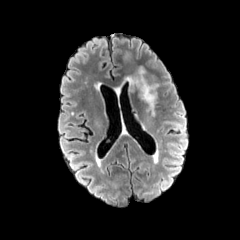
FLAIR MR image.
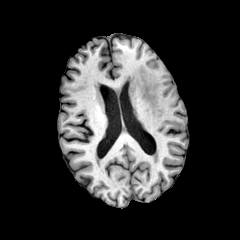
T1-weighted MR image.
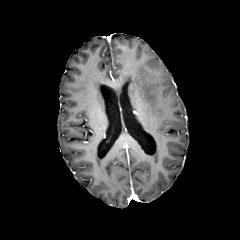
Same slice, post-contrast T1-weighted MR.
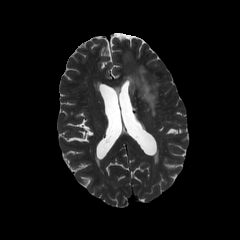
T2-weighted MRI.
Brain; Axial slice; 240x240 px
peritumoral edema: bounding box bbox(126, 67, 158, 115)